FLAIR MR image.
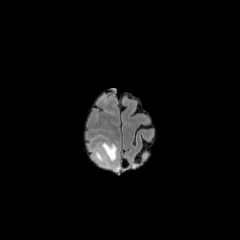
T1-weighted MR.
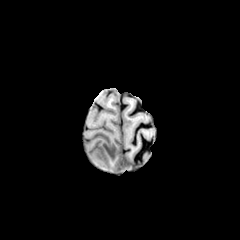
Post-contrast T1-weighted magnetic resonance.
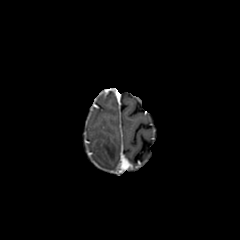
T2-weighted MR image.
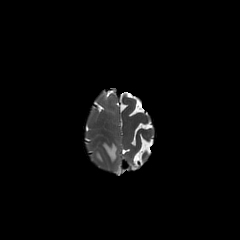
2 peritumoral edema regions are located at [x1=95, y1=150, x2=104, y2=163], [x1=102, y1=142, x2=117, y2=161].